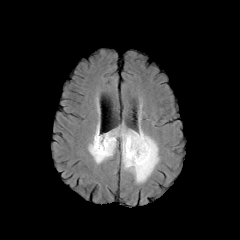
FLAIR magnetic resonance.
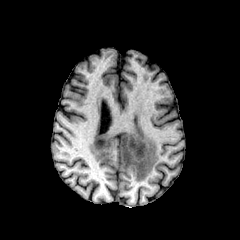
T1-weighted MR.
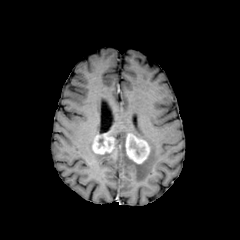
Post-contrast T1-weighted MR of the same slice.
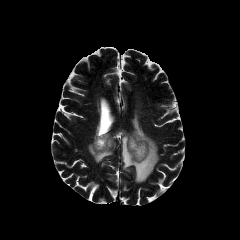
T2-weighted MRI.
Axial slice. Head.
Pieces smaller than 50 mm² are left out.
peritumoral_edema:
  - x1=88 y1=125 x2=159 y2=183
enhancing_tumor:
  - x1=125 y1=133 x2=150 y2=163
  - x1=92 y1=132 x2=115 y2=154
necrotic_tumor_core:
  - x1=130 y1=142 x2=139 y2=155